FLAIR magnetic resonance.
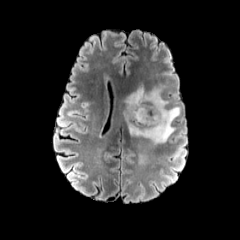
T1-weighted magnetic resonance.
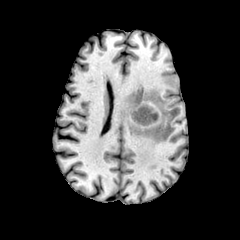
Post-contrast T1-weighted magnetic resonance.
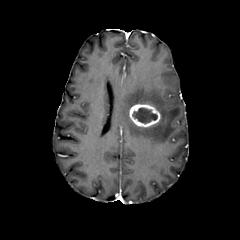
T2-weighted MR image.
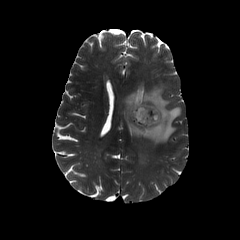
Axial plane.
Findings:
• necrotic tumor core: [132, 108, 157, 123]
• peritumoral edema: [123, 85, 180, 143]
• enhancing tumor: [129, 104, 160, 127]